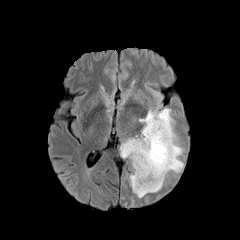
FLAIR MR.
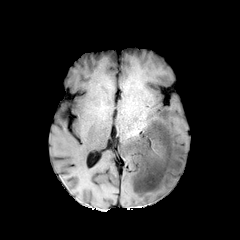
T1-weighted MR.
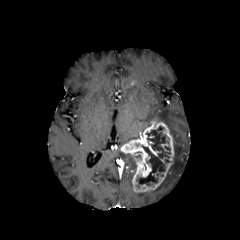
Same slice, post-contrast T1-weighted magnetic resonance.
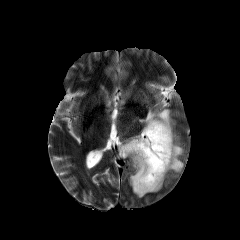
T2-weighted MRI of the same slice.
Brain
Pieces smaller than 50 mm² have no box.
Annotated regions:
* necrotic tumor core: 136 126 170 185
* peritumoral edema: 133 181 163 197, 139 108 183 172, 120 151 136 173
* enhancing tumor: 120 119 174 192